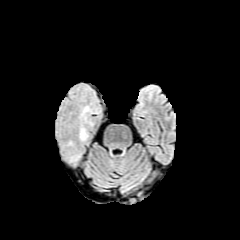
FLAIR magnetic resonance.
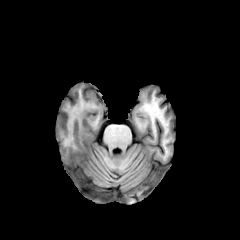
T1-weighted MR image.
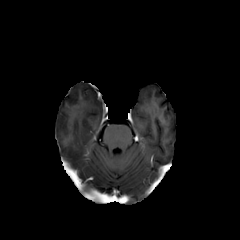
Post-contrast T1-weighted MRI.
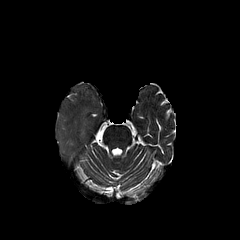
Same slice, T2-weighted MR.
240x240 px
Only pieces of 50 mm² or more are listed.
<segmentation>
  <peritumoral_edema>left=80, top=129, right=86, bottom=139</peritumoral_edema>
</segmentation>